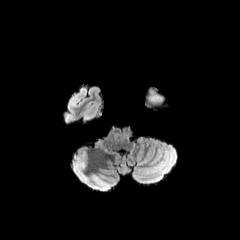
FLAIR MRI.
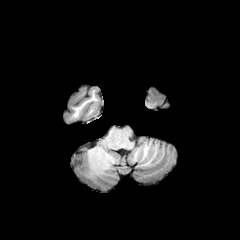
T1-weighted MRI.
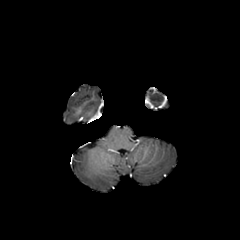
Same slice, post-contrast T1-weighted MR image.
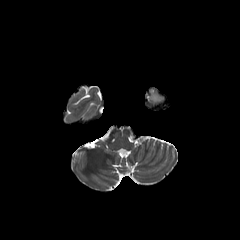
T2-weighted magnetic resonance.
Head. Axial view.
peritumoral edema: bbox=[147, 89, 163, 103]